Axial slice. Head. Image width 240 mm, 1.00 mm slice spacing.
FLAIR MR.
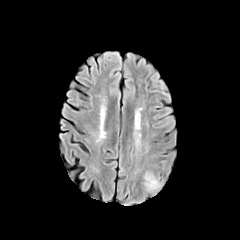
T1-weighted MRI.
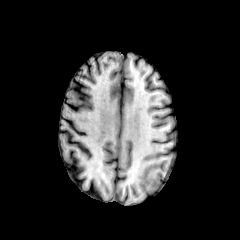
Post-contrast T1-weighted MR.
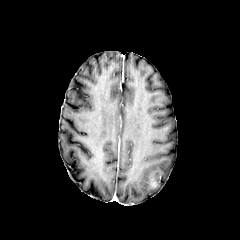
T2-weighted MR image.
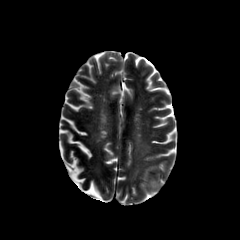
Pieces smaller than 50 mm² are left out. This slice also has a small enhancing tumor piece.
peritumoral edema at <box>145,174,161,191</box>